FLAIR MR.
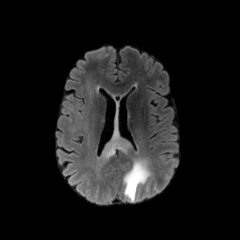
T1-weighted MRI.
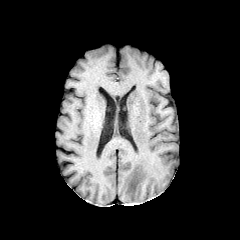
Post-contrast T1-weighted MR.
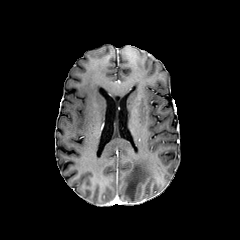
T2-weighted magnetic resonance.
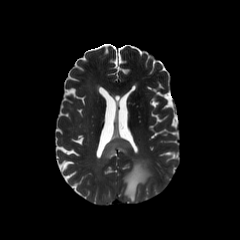
Head. Axial slice.
peritumoral edema: bounding box 124,158,151,201; 103,122,129,157